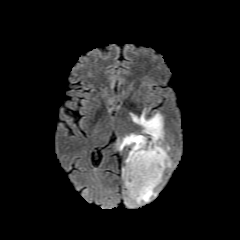
FLAIR MR.
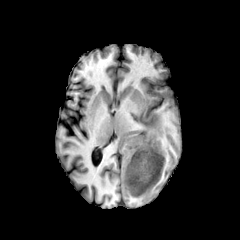
T1-weighted MR image.
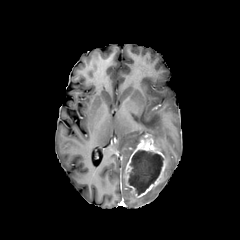
Post-contrast T1-weighted MR image.
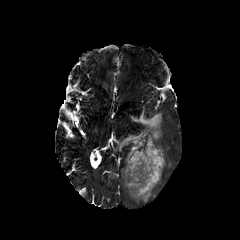
T2-weighted MR.
Head
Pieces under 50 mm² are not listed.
<segmentation>
  <peritumoral_edema>[118,110,171,167], [127,187,156,204]</peritumoral_edema>
  <enhancing_tumor>[124,133,166,197]</enhancing_tumor>
  <necrotic_tumor_core>[128,150,163,195]</necrotic_tumor_core>
</segmentation>